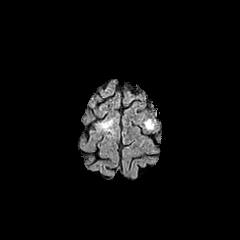
FLAIR magnetic resonance.
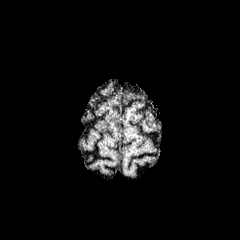
Same slice, T1-weighted MRI.
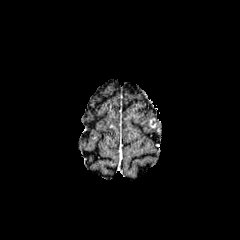
Post-contrast T1-weighted MRI.
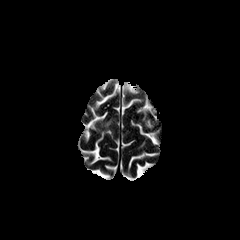
T2-weighted magnetic resonance of the same slice.
Image size 240x240
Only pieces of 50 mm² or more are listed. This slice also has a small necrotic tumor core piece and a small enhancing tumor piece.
{
  "peritumoral_edema": [
    "rect(144, 119, 154, 129)",
    "rect(99, 118, 114, 133)"
  ]
}